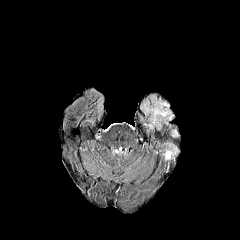
FLAIR MR image.
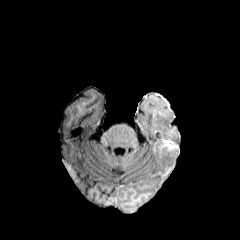
T1-weighted magnetic resonance of the same slice.
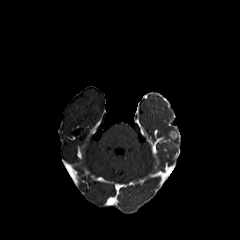
Post-contrast T1-weighted MRI.
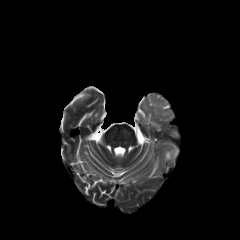
T2-weighted MR image.
Axial slice.
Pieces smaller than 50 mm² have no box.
enhancing tumor = region(170, 131, 178, 138)
peritumoral edema = region(151, 102, 169, 117); region(164, 146, 177, 159)